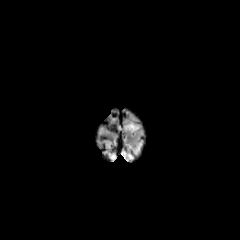
FLAIR MR image.
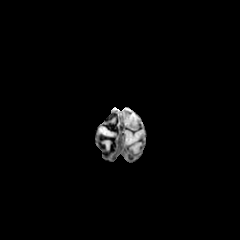
T1-weighted MRI of the same slice.
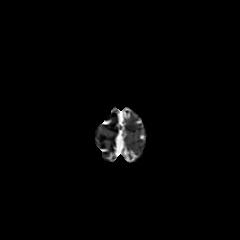
Same slice, post-contrast T1-weighted MR image.
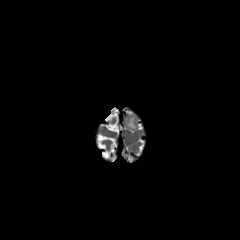
T2-weighted MRI.
Axial view | Head
The peritumoral edema lies within bbox(125, 118, 137, 130).